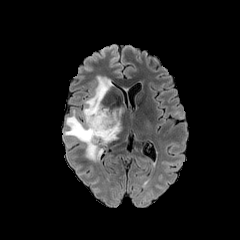
FLAIR MR image.
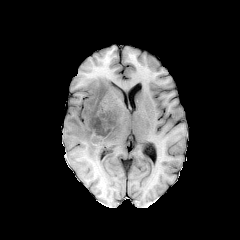
T1-weighted magnetic resonance.
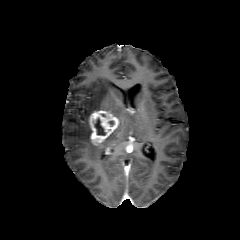
Post-contrast T1-weighted magnetic resonance of the same slice.
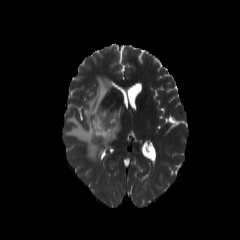
T2-weighted magnetic resonance of the same slice.
Axial slice | Brain
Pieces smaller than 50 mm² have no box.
necrotic tumor core: bounding box (95,118,105,135)
enhancing tumor: bounding box (89,110,119,145)
peritumoral edema: bounding box (64,76,121,161), (111,109,121,119)